Brain; Image width 240 mm; Axial plane
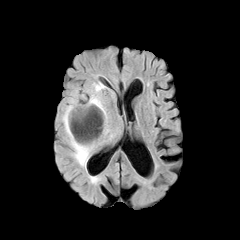
FLAIR MRI.
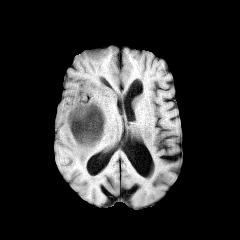
T1-weighted MR of the same slice.
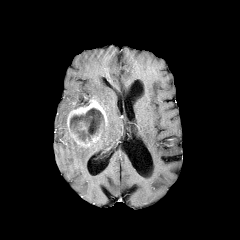
Same slice, post-contrast T1-weighted MR.
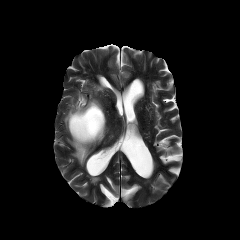
T2-weighted MRI.
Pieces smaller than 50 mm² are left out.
Annotated regions:
* peritumoral edema: left=89, top=84, right=105, bottom=111; left=62, top=97, right=109, bottom=165
* enhancing tumor: left=78, top=122, right=87, bottom=132; left=67, top=99, right=106, bottom=147
* necrotic tumor core: left=70, top=108, right=104, bottom=141